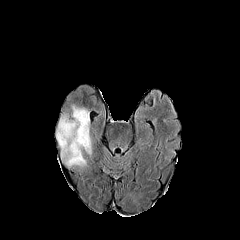
FLAIR MR.
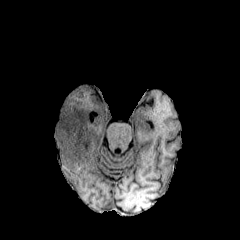
T1-weighted magnetic resonance.
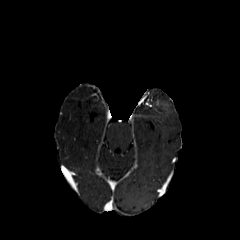
Same slice, post-contrast T1-weighted magnetic resonance.
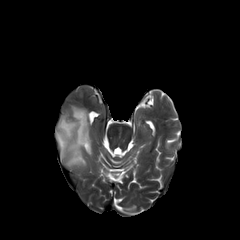
T2-weighted magnetic resonance of the same slice.
Axial plane
The peritumoral edema is bounded by <bbox>56, 105, 91, 166</bbox>.